FLAIR MR image.
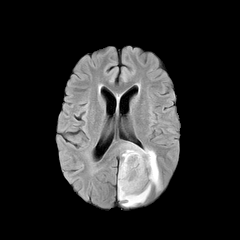
T1-weighted MR.
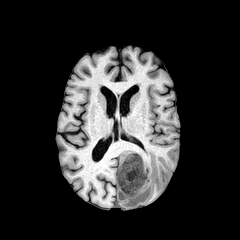
Post-contrast T1-weighted MRI.
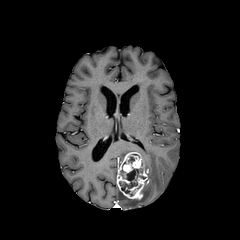
T2-weighted MRI.
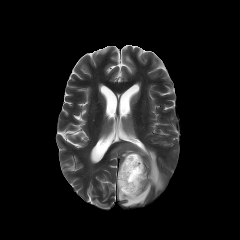
Head.
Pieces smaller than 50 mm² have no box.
enhancing tumor — bbox(117, 152, 147, 199)
necrotic tumor core — bbox(119, 169, 142, 193)
peritumoral edema — bbox(118, 143, 161, 206)